Slice 125 of 155, Brain
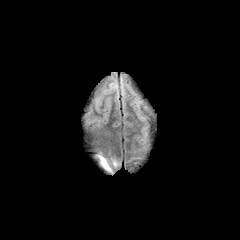
FLAIR MR image.
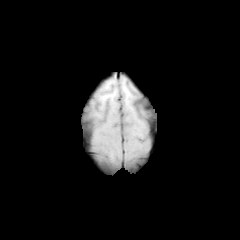
Same slice, T1-weighted MRI.
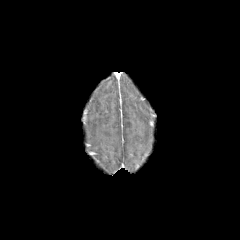
Same slice, post-contrast T1-weighted magnetic resonance.
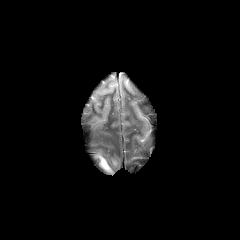
T2-weighted magnetic resonance of the same slice.
The peritumoral edema appears at bbox=[95, 152, 118, 173].